Image width 240 mm. Axial plane. Image size 240x240. Brain. Slice 104/155.
FLAIR magnetic resonance.
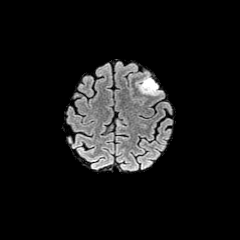
T1-weighted MR.
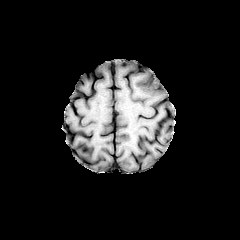
Post-contrast T1-weighted MRI.
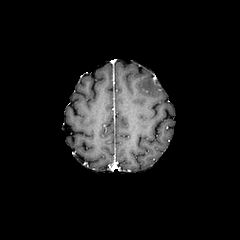
T2-weighted MR image.
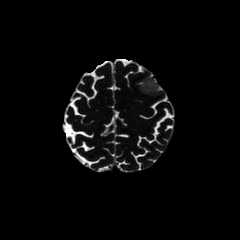
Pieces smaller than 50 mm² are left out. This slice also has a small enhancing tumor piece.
peritumoral edema — bbox=[139, 75, 161, 95]